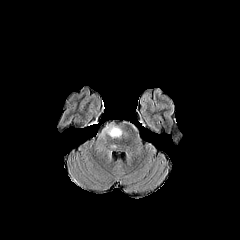
FLAIR MR image.
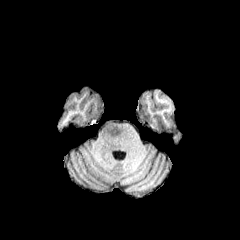
Same slice, T1-weighted magnetic resonance.
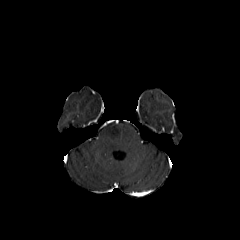
Post-contrast T1-weighted MRI.
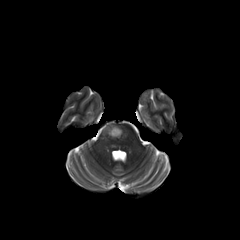
T2-weighted magnetic resonance of the same slice.
Image size 240x240. Axial plane.
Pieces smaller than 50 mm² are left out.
peritumoral edema: bounding box 102,124,122,137